Axial slice. Slice index 116. Image covers 240 mm x 240 mm.
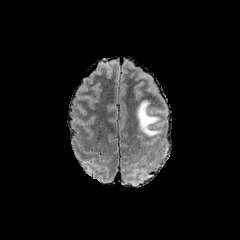
FLAIR MRI.
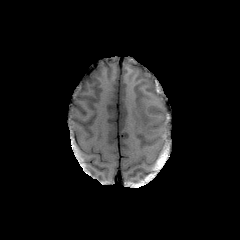
T1-weighted magnetic resonance.
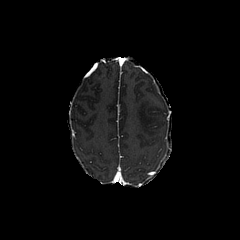
Post-contrast T1-weighted magnetic resonance of the same slice.
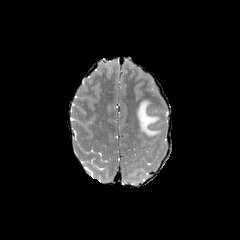
T2-weighted magnetic resonance of the same slice.
The peritumoral edema is located at (x1=136, y1=100, x2=159, y2=135).